FLAIR MR image.
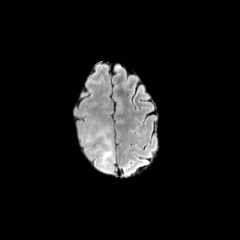
T1-weighted MR.
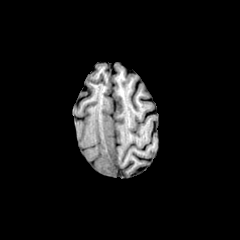
Post-contrast T1-weighted magnetic resonance.
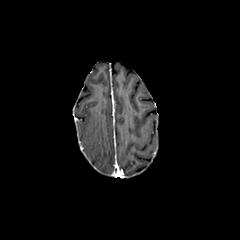
T2-weighted MR.
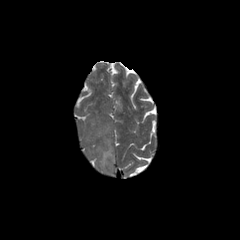
Annotated regions:
• peritumoral edema: (x1=87, y1=126, x2=114, y2=171)